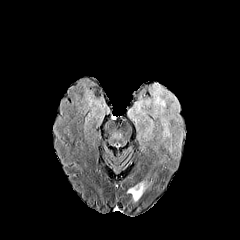
FLAIR MR.
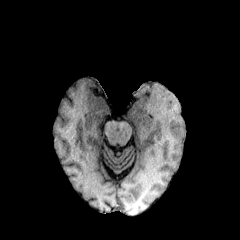
Same slice, T1-weighted MR.
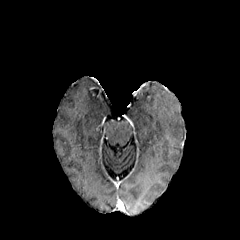
Post-contrast T1-weighted MRI.
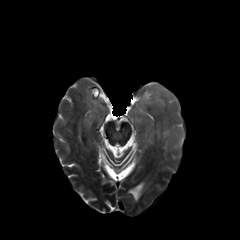
Same slice, T2-weighted MRI.
Brain.
2 peritumoral edema regions appear at bbox(127, 183, 144, 200); bbox(128, 84, 181, 148).